Brain; 240x240
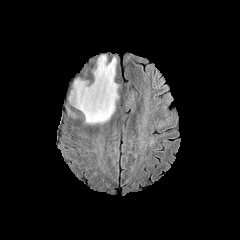
FLAIR magnetic resonance.
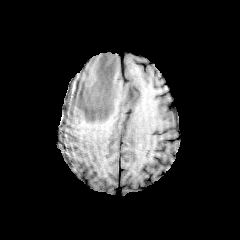
T1-weighted MRI.
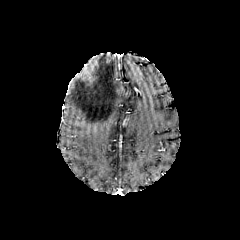
Same slice, post-contrast T1-weighted magnetic resonance.
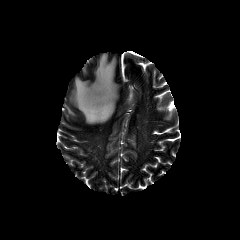
T2-weighted magnetic resonance of the same slice.
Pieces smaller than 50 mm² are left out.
The largest peritumoral edema region is located at region(69, 54, 119, 124).